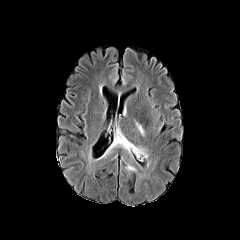
FLAIR MRI.
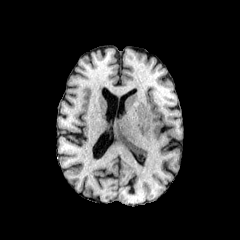
T1-weighted MR image of the same slice.
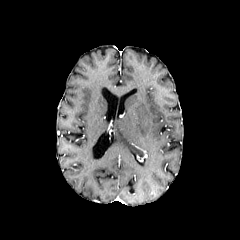
Post-contrast T1-weighted MR image.
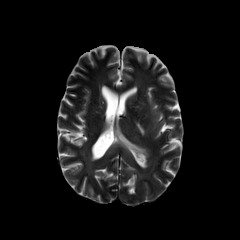
T2-weighted MR image of the same slice.
Brain
peritumoral edema — <bbox>104, 127, 150, 162</bbox>, <bbox>125, 163, 137, 171</bbox>, <bbox>135, 120, 145, 136</bbox>